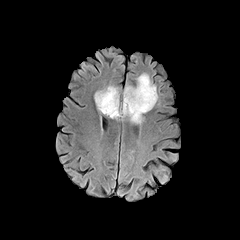
FLAIR magnetic resonance.
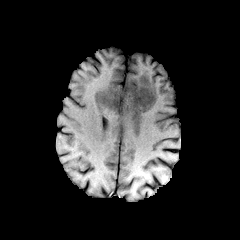
T1-weighted MRI of the same slice.
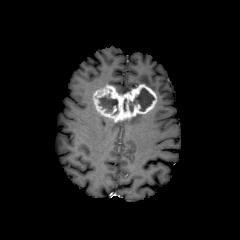
Post-contrast T1-weighted MR.
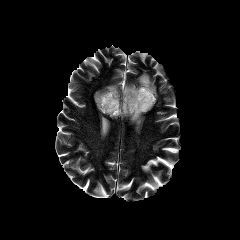
T2-weighted MRI of the same slice.
Axial plane, Brain
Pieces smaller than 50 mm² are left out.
<segmentation>
  <enhancing_tumor>region(93, 84, 157, 121)</enhancing_tumor>
  <necrotic_tumor_core>region(133, 88, 154, 111); region(99, 94, 117, 112)</necrotic_tumor_core>
  <peritumoral_edema>region(137, 73, 158, 98); region(126, 114, 144, 132); region(116, 85, 134, 93)</peritumoral_edema>
</segmentation>